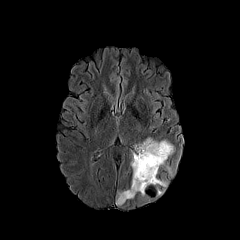
FLAIR MR image.
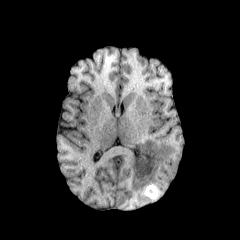
T1-weighted MRI of the same slice.
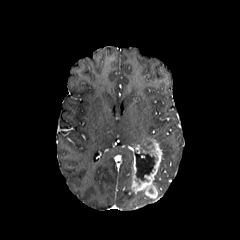
Same slice, post-contrast T1-weighted MR.
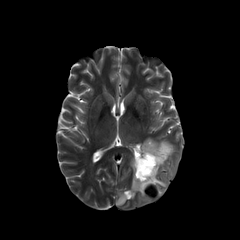
T2-weighted MRI.
240x240 px
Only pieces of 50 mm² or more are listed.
Annotated regions:
• necrotic tumor core: region(135, 149, 154, 180)
• enhancing tumor: region(131, 139, 163, 193)
• peritumoral edema: region(158, 140, 173, 165); region(116, 189, 135, 205); region(154, 177, 166, 194)